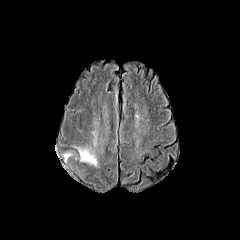
FLAIR magnetic resonance.
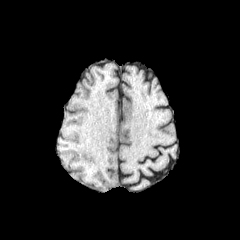
Same slice, T1-weighted MRI.
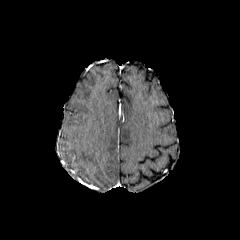
Same slice, post-contrast T1-weighted magnetic resonance.
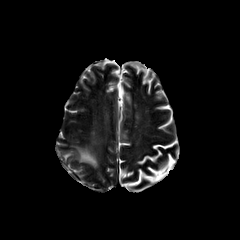
T2-weighted MR of the same slice.
240x240 px; Head
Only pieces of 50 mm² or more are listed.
peritumoral edema = (left=78, top=148, right=96, bottom=165)